FLAIR MR.
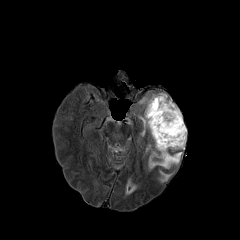
T1-weighted MR image.
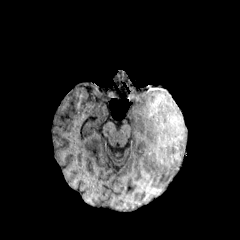
Post-contrast T1-weighted MR image.
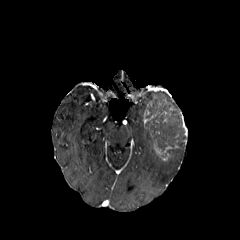
T2-weighted MRI.
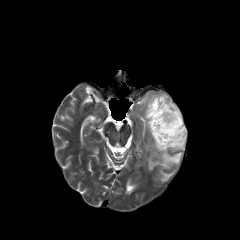
Head
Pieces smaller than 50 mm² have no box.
peritumoral edema at left=147, top=93, right=179, bottom=111; left=148, top=150, right=182, bottom=170; left=160, top=170, right=171, bottom=182
necrotic tumor core at left=145, top=100, right=185, bottom=153
enhancing tumor at left=155, top=145, right=171, bottom=160